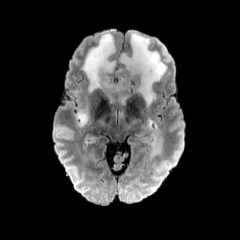
FLAIR MR.
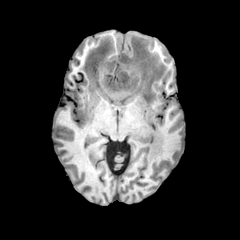
T1-weighted magnetic resonance of the same slice.
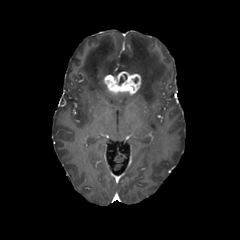
Post-contrast T1-weighted MR image.
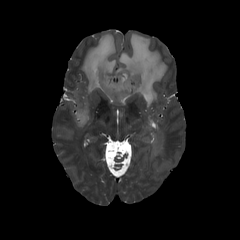
T2-weighted magnetic resonance.
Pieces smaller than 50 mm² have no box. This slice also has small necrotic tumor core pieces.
peritumoral edema: [66, 92, 89, 126], [135, 119, 163, 160], [116, 32, 166, 105], [82, 33, 129, 103] | enhancing tumor: [102, 71, 141, 95]